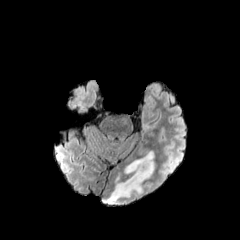
FLAIR MR.
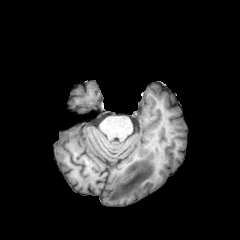
T1-weighted MRI.
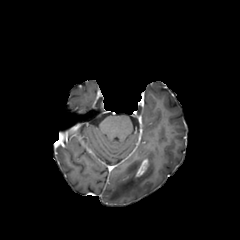
Post-contrast T1-weighted MRI.
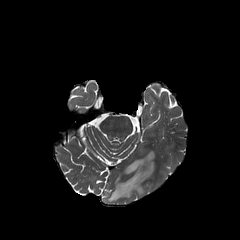
Same slice, T2-weighted MR image.
Image size 240x240, Head
enhancing tumor: (135, 158, 149, 177) | peritumoral edema: (102, 151, 155, 204)